FLAIR MR image.
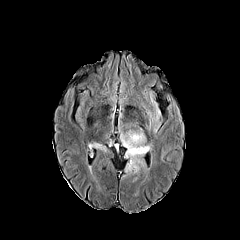
T1-weighted magnetic resonance.
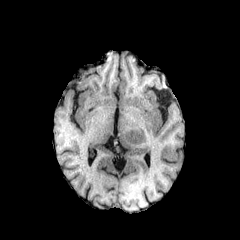
Post-contrast T1-weighted magnetic resonance.
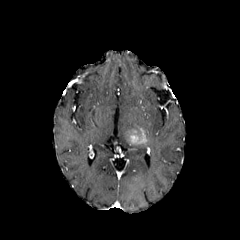
T2-weighted magnetic resonance.
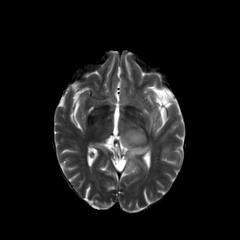
Head | Axial plane
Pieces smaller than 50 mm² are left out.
{
  "peritumoral_edema": [
    "<box>89,141,106,151</box>",
    "<box>120,132,151,176</box>"
  ],
  "enhancing_tumor": [
    "<box>126,129,146,144</box>"
  ]
}